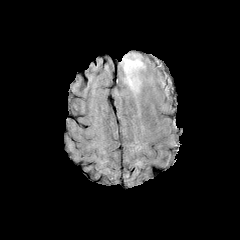
FLAIR MR image.
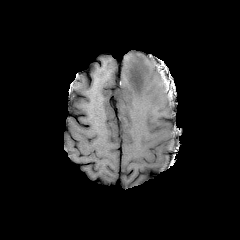
T1-weighted MR image of the same slice.
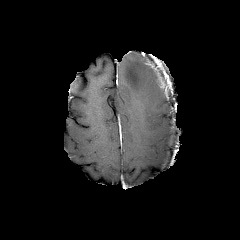
Post-contrast T1-weighted MR.
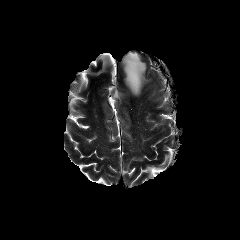
T2-weighted MRI of the same slice.
Axial view | 240x240 px
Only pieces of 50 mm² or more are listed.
peritumoral edema: bounding box 122 53 151 96